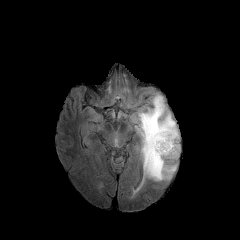
FLAIR magnetic resonance.
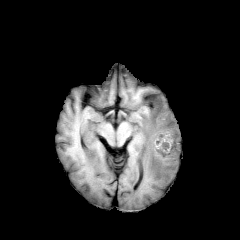
T1-weighted MRI.
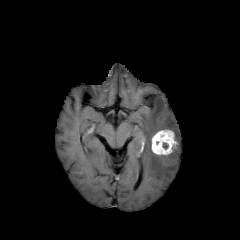
Post-contrast T1-weighted magnetic resonance.
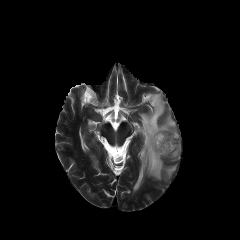
T2-weighted MRI.
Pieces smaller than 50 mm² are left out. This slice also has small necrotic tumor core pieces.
Segmented structures:
• enhancing tumor: [151,129,177,155]
• peritumoral edema: [137,94,180,180]